FLAIR magnetic resonance.
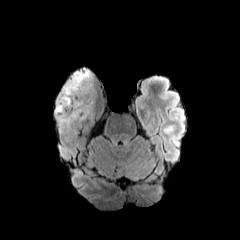
T1-weighted MR.
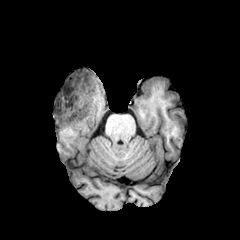
Post-contrast T1-weighted MR image.
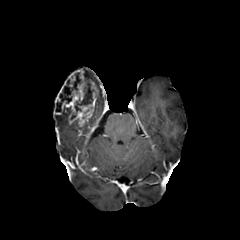
T2-weighted MR image.
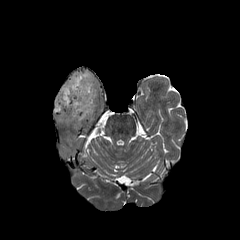
Head. 240x240 px.
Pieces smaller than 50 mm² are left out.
peritumoral edema at box=[56, 110, 70, 125]; box=[83, 69, 92, 80]
enhancing tumor at box=[55, 80, 66, 109]; box=[61, 69, 98, 126]
necrotic tumor core at box=[75, 82, 93, 110]; box=[55, 73, 80, 111]